FLAIR magnetic resonance.
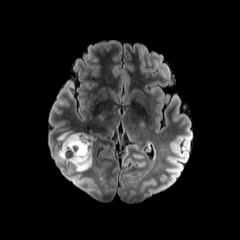
T1-weighted MRI.
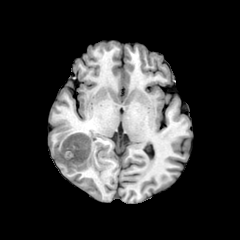
Post-contrast T1-weighted MRI.
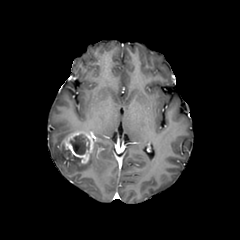
T2-weighted MRI.
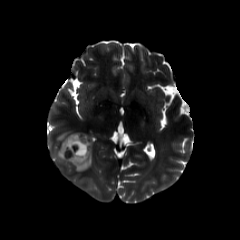
240x240
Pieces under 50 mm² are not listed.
peritumoral edema: bounding box [56,144,91,171], [58,132,71,141]
enhancing tumor: bounding box [62,132,93,163]
necrotic tumor core: bounding box [70,134,89,154]